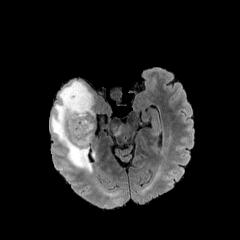
FLAIR MRI.
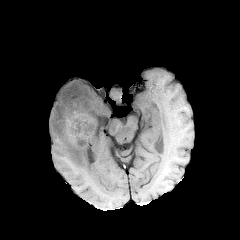
T1-weighted magnetic resonance.
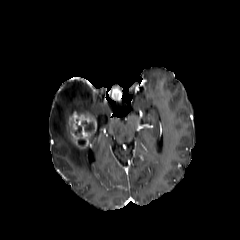
Same slice, post-contrast T1-weighted magnetic resonance.
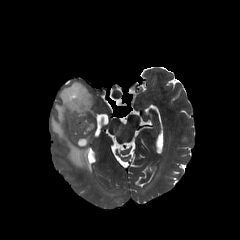
T2-weighted MRI.
Head
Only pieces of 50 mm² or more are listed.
Findings:
* necrotic tumor core: (72,120,92,144)
* peritumoral edema: (51,81,96,172), (113,125,121,137)
* enhancing tumor: (69,111,97,148)